Slice 104 of 155; Head
FLAIR magnetic resonance.
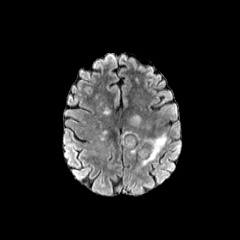
T1-weighted magnetic resonance.
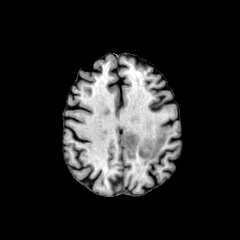
Post-contrast T1-weighted MRI.
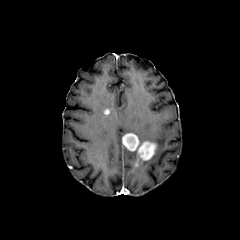
T2-weighted MR.
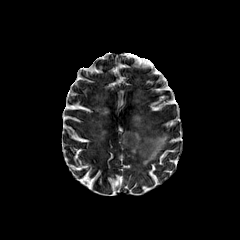
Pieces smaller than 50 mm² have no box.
The largest peritumoral edema region is located at bbox=[141, 131, 167, 165]. The 2 largest enhancing tumor regions are bounded by bbox=[122, 133, 139, 151]; bbox=[138, 141, 156, 160].